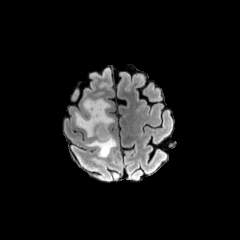
FLAIR MR image.
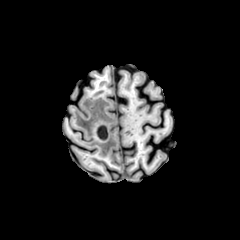
T1-weighted MR of the same slice.
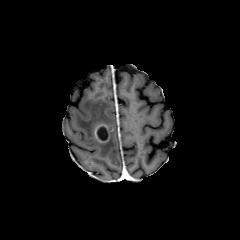
Post-contrast T1-weighted magnetic resonance of the same slice.
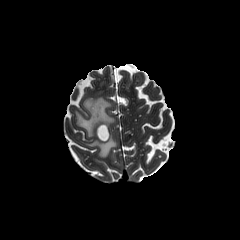
T2-weighted MR.
Axial slice | Head
The enhancing tumor lies within box=[94, 124, 109, 143]. 2 peritumoral edema regions appear at box=[85, 134, 116, 157]; box=[75, 98, 114, 137]. The necrotic tumor core is bounded by box=[97, 126, 107, 140].